Axial slice; Image width 240 mm, 1.00 mm slice spacing; Slice 75/155
FLAIR MRI.
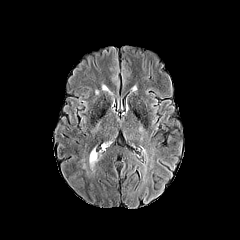
T1-weighted MRI.
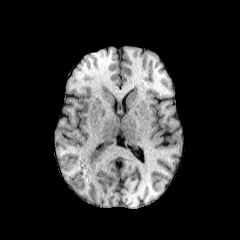
Post-contrast T1-weighted MR.
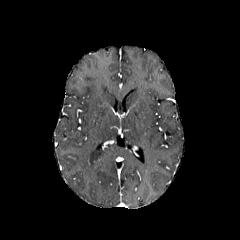
T2-weighted MRI.
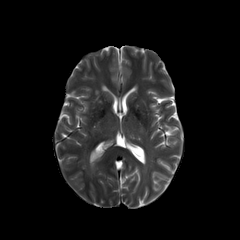
The peritumoral edema is bounded by bbox=[89, 148, 101, 167].